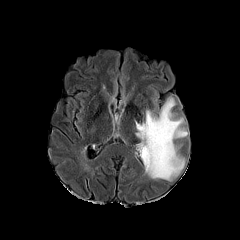
FLAIR magnetic resonance.
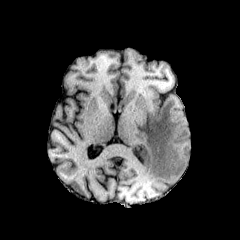
T1-weighted magnetic resonance.
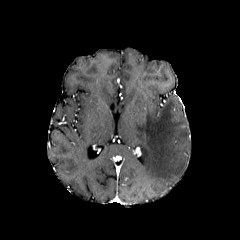
Post-contrast T1-weighted MR.
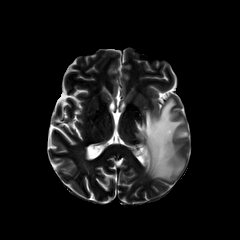
T2-weighted MRI of the same slice.
Head
peritumoral edema — (left=134, top=96, right=187, bottom=182)